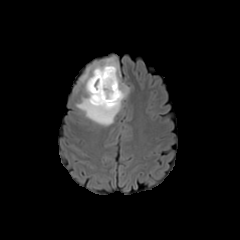
FLAIR MR.
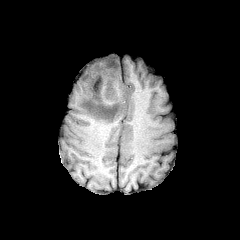
Same slice, T1-weighted magnetic resonance.
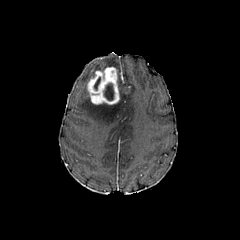
Same slice, post-contrast T1-weighted MR.
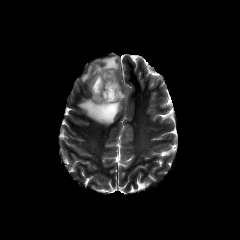
T2-weighted magnetic resonance.
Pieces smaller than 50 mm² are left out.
peritumoral_edema:
  - 77,56,129,125
enhancing_tumor:
  - 87,66,119,104
necrotic_tumor_core:
  - 104,84,114,100